Axial slice | Head | Slice index 41 | Image size 240x240
FLAIR MR image.
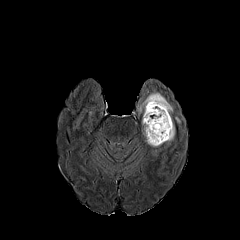
T1-weighted magnetic resonance.
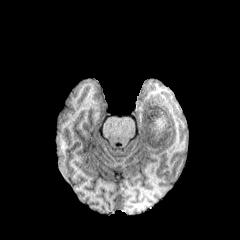
Post-contrast T1-weighted MR image.
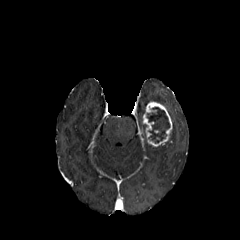
T2-weighted MR image.
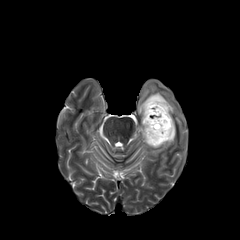
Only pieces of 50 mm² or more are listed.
<segmentation>
  <enhancing_tumor>(142, 101, 172, 146)</enhancing_tumor>
  <necrotic_tumor_core>(147, 107, 169, 143)</necrotic_tumor_core>
  <peritumoral_edema>(137, 81, 181, 154)</peritumoral_edema>
</segmentation>